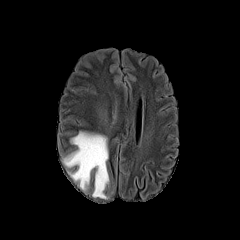
FLAIR MRI.
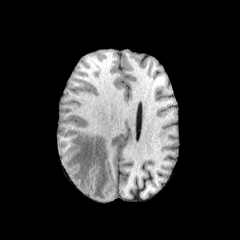
Same slice, T1-weighted MR.
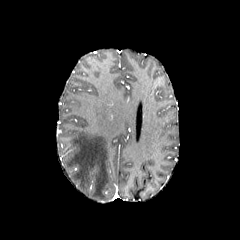
Same slice, post-contrast T1-weighted magnetic resonance.
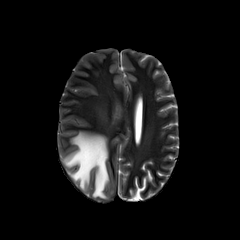
T2-weighted MR image.
Axial plane | Brain
peritumoral edema: (64, 131, 109, 198)